FLAIR MR.
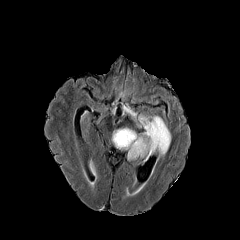
T1-weighted MR image.
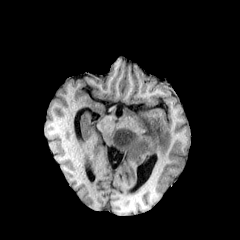
Post-contrast T1-weighted MRI.
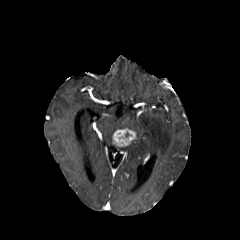
T2-weighted MR.
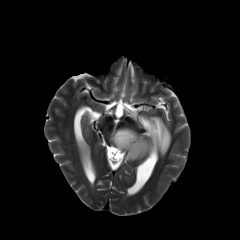
Brain
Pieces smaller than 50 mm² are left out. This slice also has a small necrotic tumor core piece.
enhancing tumor: bbox=[112, 128, 136, 147]
peritumoral edema: bbox=[117, 115, 171, 160]